Head, 240x240 px, Image width 240 mm
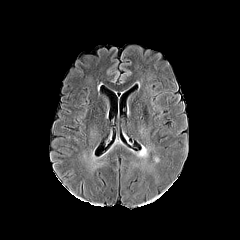
FLAIR MR image.
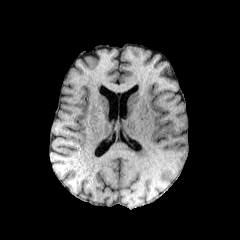
T1-weighted MR.
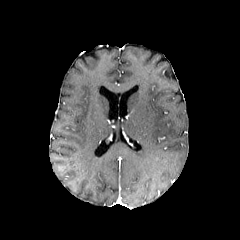
Post-contrast T1-weighted MR.
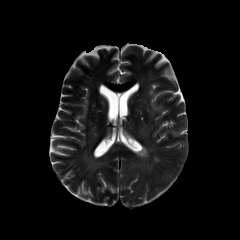
T2-weighted MR image.
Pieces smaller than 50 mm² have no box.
The largest peritumoral edema region is located at (136, 146, 148, 159).